Axial view
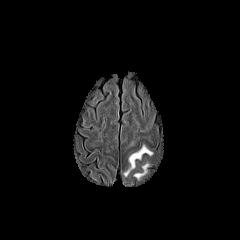
FLAIR MR.
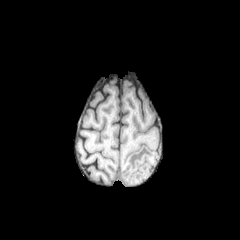
T1-weighted magnetic resonance of the same slice.
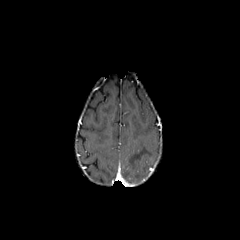
Same slice, post-contrast T1-weighted MR.
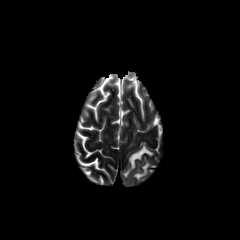
T2-weighted magnetic resonance.
peritumoral edema at 124:145:152:176, 134:164:148:179